240x240
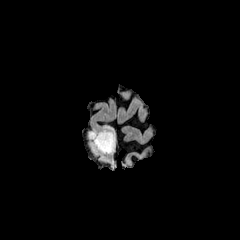
FLAIR magnetic resonance.
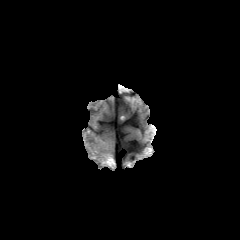
T1-weighted magnetic resonance.
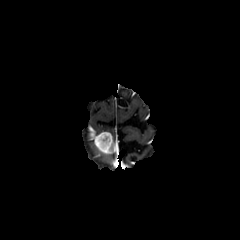
Post-contrast T1-weighted MR of the same slice.
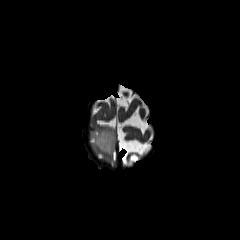
T2-weighted MR.
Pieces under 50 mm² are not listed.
The enhancing tumor is bounded by rect(89, 132, 114, 154). The 2 largest peritumoral edema regions appear at rect(89, 139, 107, 157); rect(89, 126, 115, 145).